FLAIR MR image.
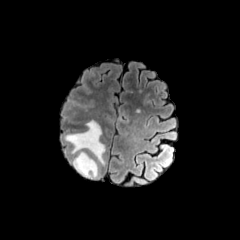
T1-weighted MR image.
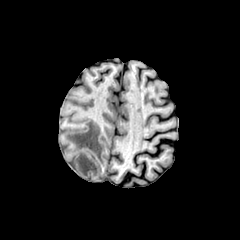
Post-contrast T1-weighted MR image.
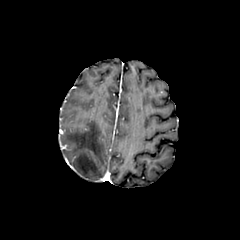
T2-weighted MRI.
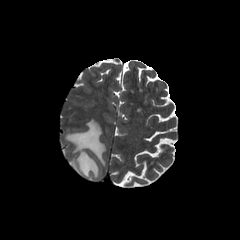
Axial slice, Brain
peritumoral edema: bounding box 65, 120, 105, 177